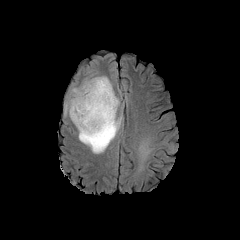
FLAIR MRI.
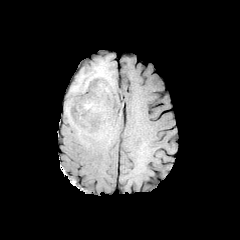
Same slice, T1-weighted magnetic resonance.
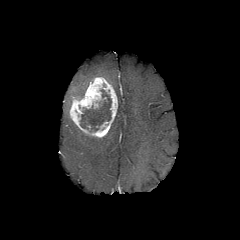
Same slice, post-contrast T1-weighted MRI.
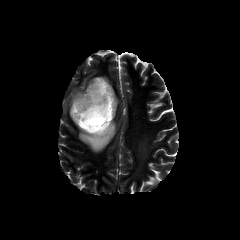
Same slice, T2-weighted MRI.
Axial slice; Head
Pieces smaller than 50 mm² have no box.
The 4 largest peritumoral edema regions appear at 78 99 121 153, 72 81 89 96, 141 130 178 162, 66 98 71 112. The largest necrotic tumor core region appears at 80 89 111 131. The enhancing tumor is located at 69 77 117 137.